FLAIR magnetic resonance.
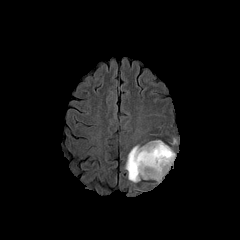
T1-weighted magnetic resonance.
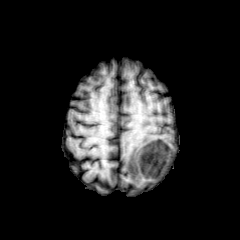
Post-contrast T1-weighted MR image.
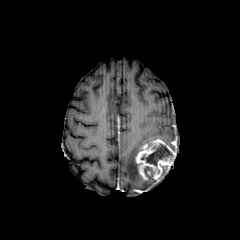
T2-weighted MR.
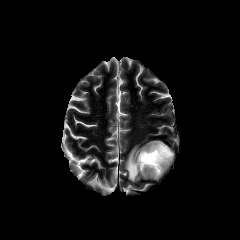
Head.
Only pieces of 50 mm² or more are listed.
peritumoral edema: <box>125,145,141,182</box>
necrotic tumor core: <box>144,166,152,178</box>, <box>141,144,172,166</box>
enhancing tumor: <box>135,139,175,180</box>